FLAIR MR image.
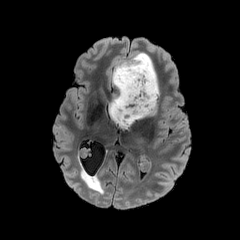
T1-weighted MRI.
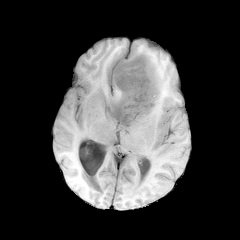
Post-contrast T1-weighted MRI.
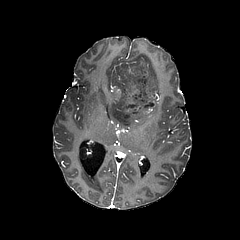
T2-weighted MR image.
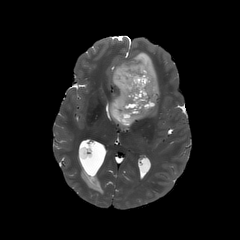
Brain | Axial view
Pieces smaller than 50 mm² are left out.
The 3 largest peritumoral edema regions are located at 119 123 131 129, 131 110 149 122, 109 52 159 124. The necrotic tumor core is bounded by 113 56 157 124.